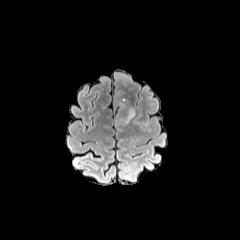
FLAIR MRI.
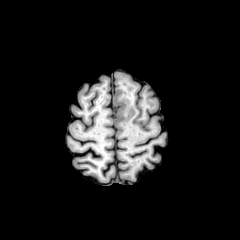
T1-weighted magnetic resonance.
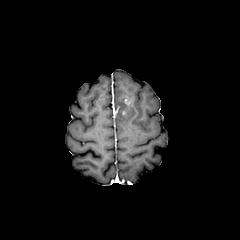
Post-contrast T1-weighted MR image.
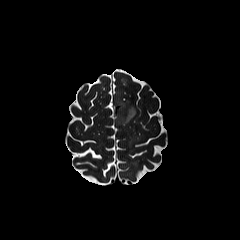
T2-weighted magnetic resonance.
Brain.
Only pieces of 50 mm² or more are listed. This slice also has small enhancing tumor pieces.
peritumoral edema: <bbox>116, 98, 135, 124</bbox>